FLAIR MRI.
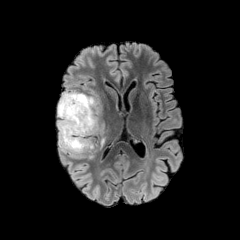
T1-weighted magnetic resonance.
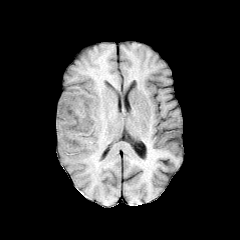
Post-contrast T1-weighted MR image.
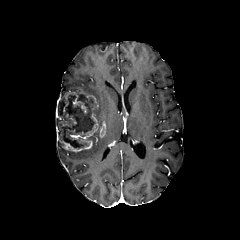
T2-weighted magnetic resonance.
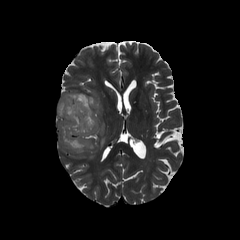
Brain; 240x240 px
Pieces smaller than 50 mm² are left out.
necrotic tumor core: bounding box (left=61, top=95, right=94, bottom=148), (left=59, top=101, right=64, bottom=115)
peritumoral edema: bounding box (left=59, top=142, right=83, bottom=156)
enhancing tumor: bounding box (left=57, top=91, right=105, bottom=152)